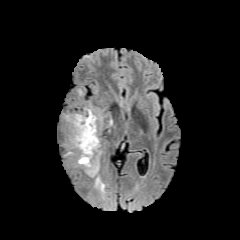
FLAIR MR.
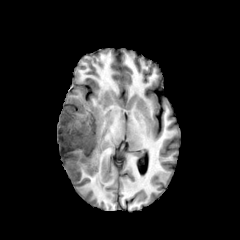
Same slice, T1-weighted magnetic resonance.
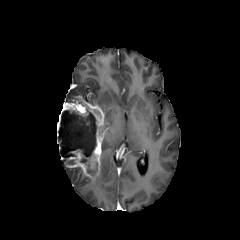
Post-contrast T1-weighted MR of the same slice.
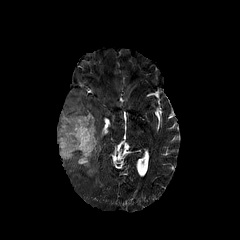
T2-weighted magnetic resonance of the same slice.
Head. Axial slice.
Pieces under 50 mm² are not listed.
• peritumoral edema: box=[94, 176, 104, 189]
• enhancing tumor: box=[57, 95, 104, 178]
• necrotic tumor core: box=[87, 162, 97, 174]; box=[58, 109, 96, 163]